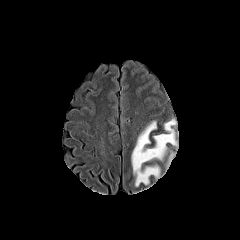
FLAIR MRI.
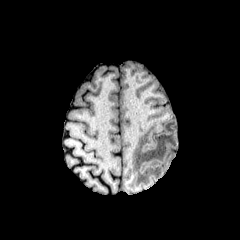
T1-weighted MRI.
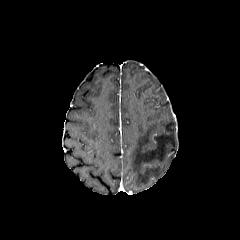
Post-contrast T1-weighted MRI.
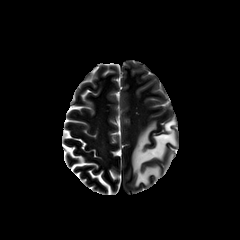
T2-weighted MR image.
Head. Axial view.
2 peritumoral edema regions are bounded by (166, 153, 173, 168), (131, 119, 177, 186).